240x240 | Slice 97 of 155
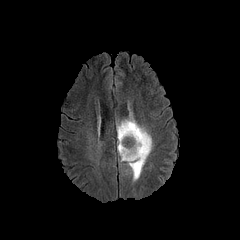
FLAIR MR.
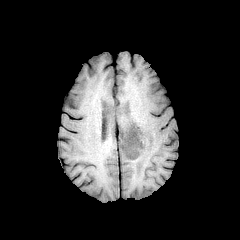
T1-weighted magnetic resonance of the same slice.
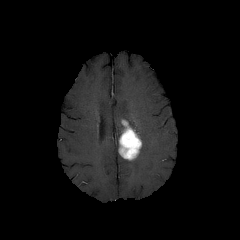
Post-contrast T1-weighted MR of the same slice.
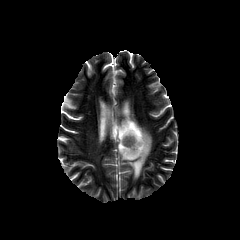
T2-weighted magnetic resonance.
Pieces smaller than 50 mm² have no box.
The enhancing tumor is at 118,119,142,160. The 2 largest peritumoral edema regions are bounded by 117,121,123,139; 121,112,152,181.